FLAIR magnetic resonance.
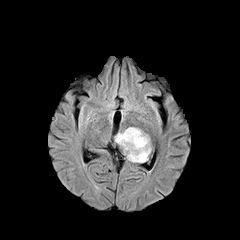
T1-weighted MRI.
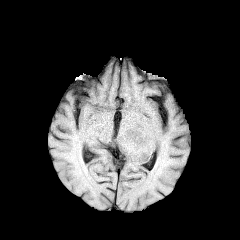
Post-contrast T1-weighted MRI.
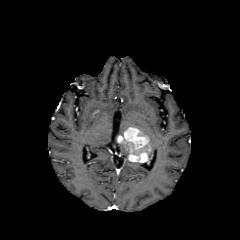
T2-weighted MR image.
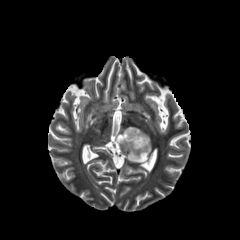
Axial plane; Brain
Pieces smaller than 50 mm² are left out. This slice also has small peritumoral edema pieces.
enhancing tumor: bounding box <box>117,127,150,162</box>